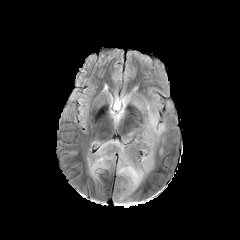
FLAIR MR.
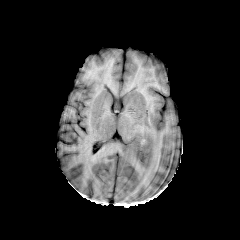
T1-weighted MRI of the same slice.
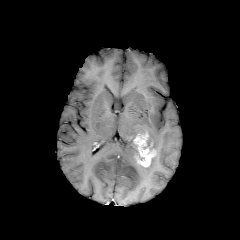
Same slice, post-contrast T1-weighted MRI.
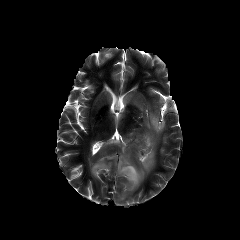
T2-weighted MR.
Axial plane | Brain
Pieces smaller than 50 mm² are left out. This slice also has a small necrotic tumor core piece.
enhancing tumor: (x1=133, y1=133, x2=155, y2=167)
peritumoral edema: (x1=124, y1=95, x2=130, y2=104), (x1=88, y1=132, x2=154, y2=191), (x1=134, y1=101, x2=165, y2=150)